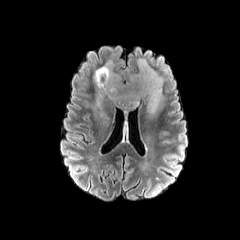
FLAIR MRI.
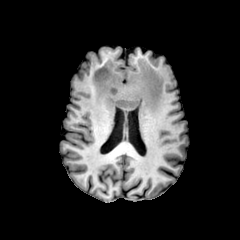
T1-weighted MRI.
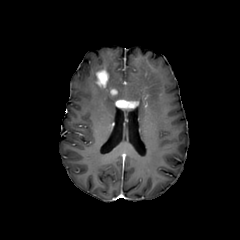
Post-contrast T1-weighted MR image of the same slice.
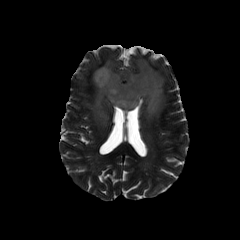
T2-weighted magnetic resonance.
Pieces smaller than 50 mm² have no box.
enhancing tumor: <box>115,99,138,108</box>, <box>96,68,108,87</box> | peritumoral edema: <box>93,58,163,118</box>, <box>96,111,109,126</box>